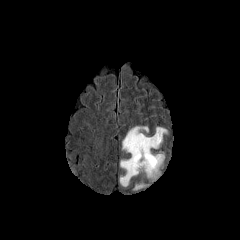
FLAIR magnetic resonance.
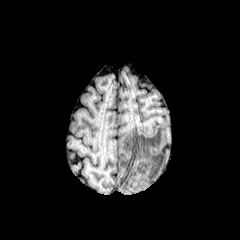
T1-weighted MR image.
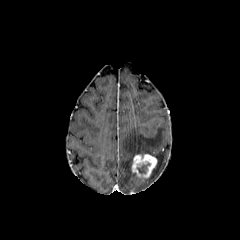
Post-contrast T1-weighted MRI.
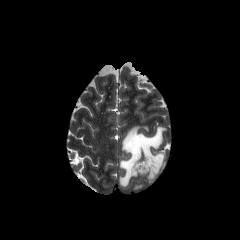
T2-weighted magnetic resonance.
240x240, Head
peritumoral edema: bounding box (x1=119, y1=125, x2=169, y2=186), (x1=132, y1=181, x2=149, y2=191)
enhancing tumor: bounding box (x1=131, y1=154, x2=157, y2=177)
necrotic tumor core: bounding box (x1=137, y1=163, x2=150, y2=173)